Image size 240x240 | Slice index 66 | Head | Image covers 240 mm x 240 mm
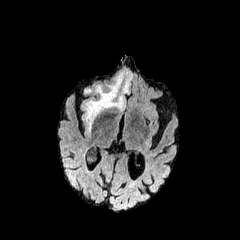
FLAIR MRI.
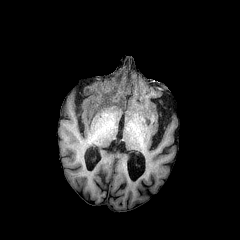
T1-weighted magnetic resonance.
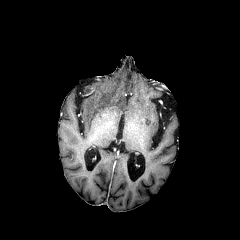
Post-contrast T1-weighted MR image.
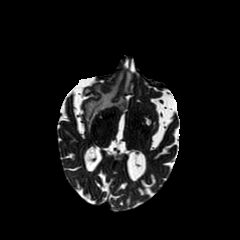
T2-weighted MR image.
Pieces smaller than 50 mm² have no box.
peritumoral edema at x1=123 y1=74 x2=131 y2=92, x1=85 y1=73 x2=123 y2=131